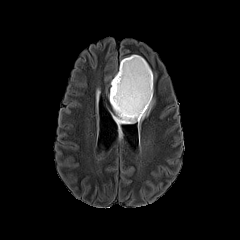
FLAIR MRI.
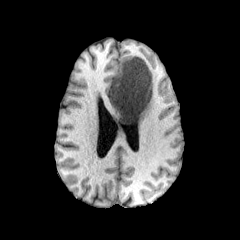
T1-weighted MR image.
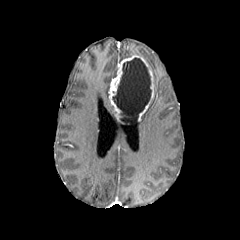
Same slice, post-contrast T1-weighted MR image.
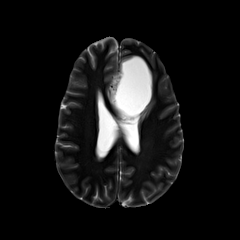
Same slice, T2-weighted MR.
Brain | Axial plane
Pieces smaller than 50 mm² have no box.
Annotated regions:
- necrotic tumor core: rect(112, 57, 151, 123)
- enhancing tumor: rect(109, 55, 153, 121)
- peritumoral edema: rect(135, 97, 154, 128); rect(112, 112, 123, 135)